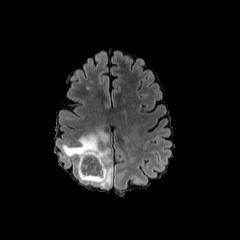
FLAIR magnetic resonance.
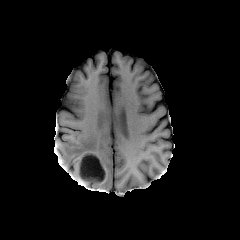
T1-weighted MR image.
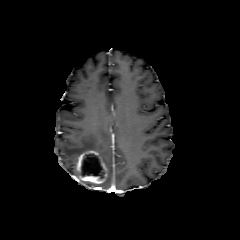
Post-contrast T1-weighted MR of the same slice.
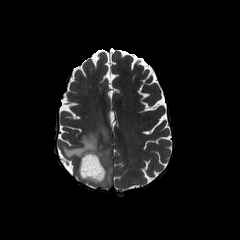
T2-weighted MRI of the same slice.
Head
necrotic tumor core: bounding box 80:153:104:178
enhancing tumor: bounding box 77:150:106:183
peritumoral edema: bounding box 62:127:112:188